FLAIR MR image.
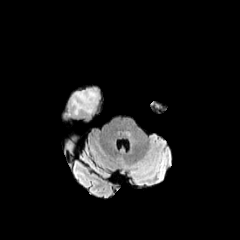
T1-weighted MR image.
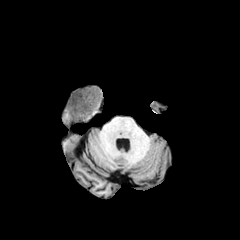
Post-contrast T1-weighted magnetic resonance.
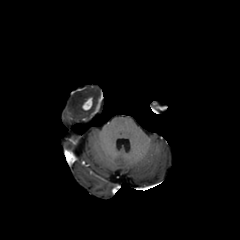
T2-weighted MRI.
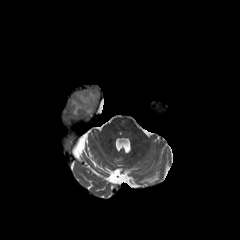
• peritumoral edema: <bbox>71, 87, 100, 115</bbox>
• enhancing tumor: <bbox>82, 97, 92, 110</bbox>